FLAIR MRI.
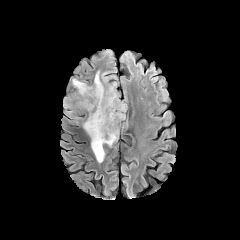
T1-weighted magnetic resonance.
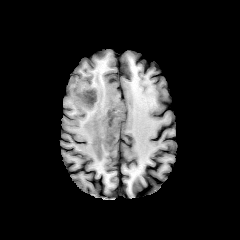
Post-contrast T1-weighted MR image.
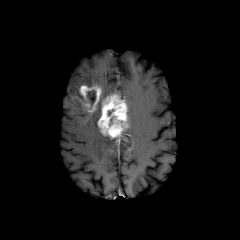
T2-weighted MR image.
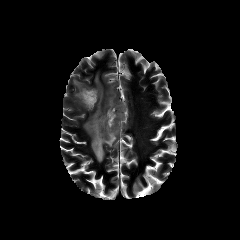
240x240 px, Head
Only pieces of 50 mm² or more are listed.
necrotic tumor core at box(87, 90, 95, 104)
peritumoral edema at box(73, 79, 85, 98); box(83, 72, 116, 162); box(107, 84, 115, 95)
enhancing tumor at box(97, 92, 128, 141); box(75, 83, 101, 112)